FLAIR MR image.
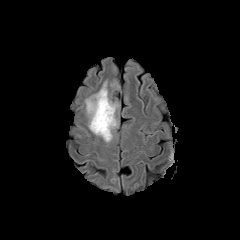
T1-weighted magnetic resonance.
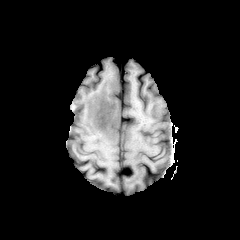
Post-contrast T1-weighted MR.
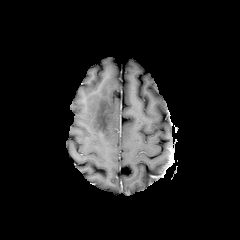
T2-weighted magnetic resonance.
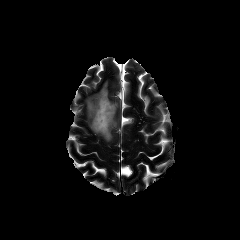
Axial view
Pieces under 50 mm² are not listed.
Findings:
* peritumoral edema: [85, 81, 118, 142]